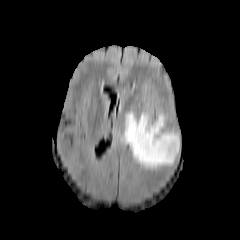
FLAIR MRI.
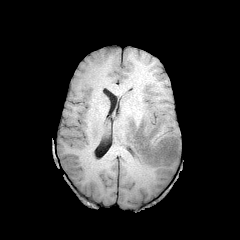
T1-weighted MR of the same slice.
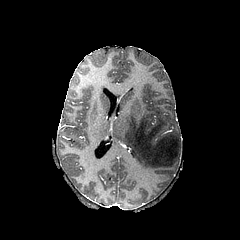
Same slice, post-contrast T1-weighted MRI.
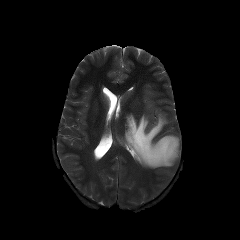
T2-weighted magnetic resonance of the same slice.
Brain.
The peritumoral edema is at bbox=[121, 112, 179, 168].